FLAIR MRI.
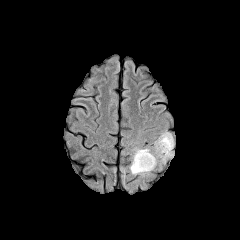
T1-weighted magnetic resonance.
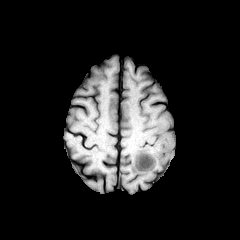
Post-contrast T1-weighted MR.
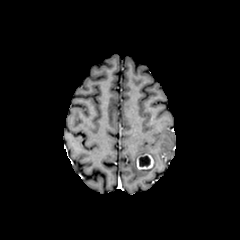
T2-weighted MR image.
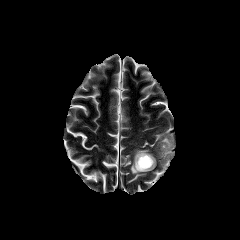
Head
2 peritumoral edema regions appear at [x1=156, y1=132, x2=174, y2=161], [x1=130, y1=148, x2=156, y2=174]. The enhancing tumor is bounded by [x1=136, y1=154, x2=153, y2=169]. The necrotic tumor core is at [x1=139, y1=156, x2=150, y2=166].